Image width 240 mm, 1.00 mm slice spacing | 240x240 px
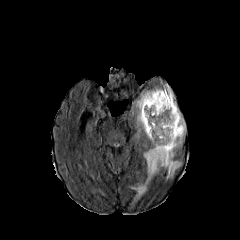
FLAIR MRI.
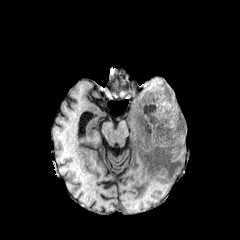
T1-weighted MRI.
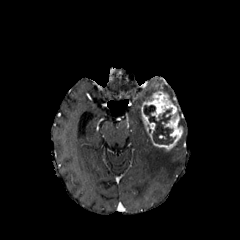
Post-contrast T1-weighted MR.
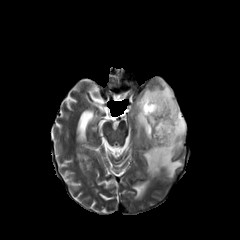
T2-weighted MRI.
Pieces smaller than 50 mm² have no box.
• necrotic tumor core: l=143, t=105, r=175, b=144
• peritumoral edema: l=130, t=85, r=186, b=201
• enhancing tumor: l=141, t=91, r=183, b=150